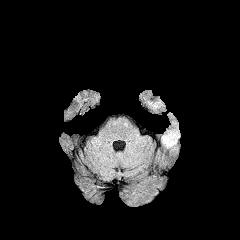
FLAIR magnetic resonance.
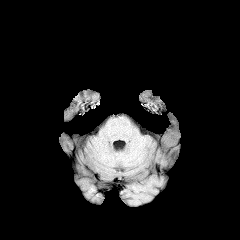
T1-weighted magnetic resonance.
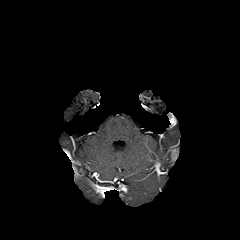
Same slice, post-contrast T1-weighted MR.
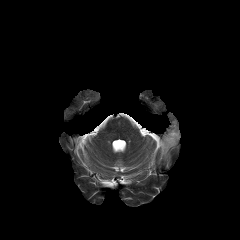
T2-weighted MRI.
Brain. Axial plane. 240x240 px.
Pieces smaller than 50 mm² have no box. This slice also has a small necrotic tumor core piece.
peritumoral_edema:
  - region(162, 126, 179, 147)
enhancing_tumor:
  - region(169, 114, 176, 126)